Slice index 83; Brain; Axial plane; Image size 240x240
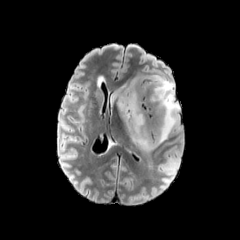
FLAIR MR image.
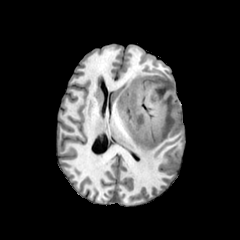
T1-weighted MRI.
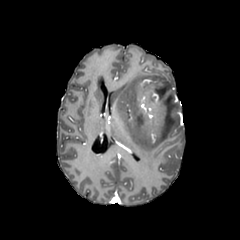
Post-contrast T1-weighted MR.
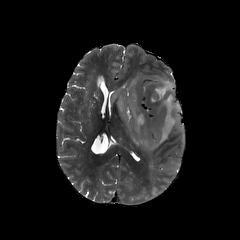
Same slice, T2-weighted MR.
Segmented structures:
- peritumoral edema: x1=111 y1=73 x2=179 y2=152
- enhancing tumor: x1=151 y1=93 x2=159 y2=108